Brain | Slice 65/155 | Image size 240x240 | Axial plane
FLAIR MR image.
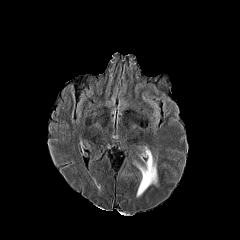
T1-weighted MRI.
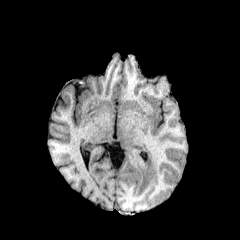
Post-contrast T1-weighted magnetic resonance.
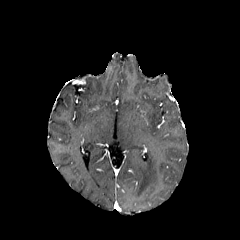
T2-weighted MRI.
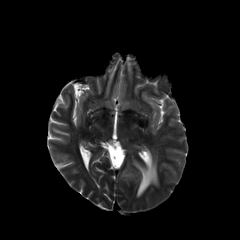
peritumoral edema — <box>135,150,157,196</box>